Slice 79/155, 240x240 px
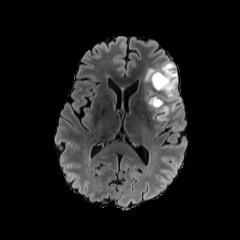
FLAIR MR.
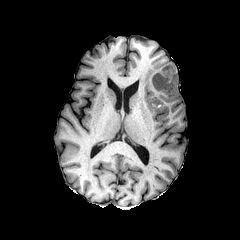
T1-weighted MRI of the same slice.
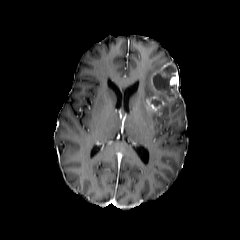
Post-contrast T1-weighted MR of the same slice.
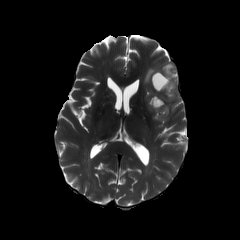
T2-weighted magnetic resonance.
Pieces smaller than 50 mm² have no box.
enhancing_tumor:
  - x1=151 y1=63 x2=178 y2=101
  - x1=146 y1=95 x2=165 y2=112
peritumoral_edema:
  - x1=144 y1=66 x2=180 y2=120
necrotic_tumor_core:
  - x1=153 y1=65 x2=175 y2=96
  - x1=151 y1=99 x2=161 y2=106